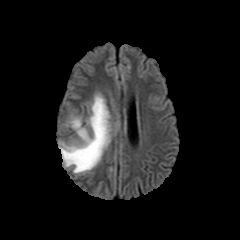
FLAIR MRI.
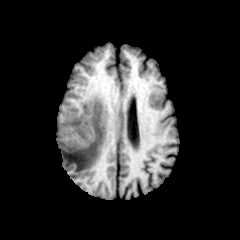
T1-weighted MRI.
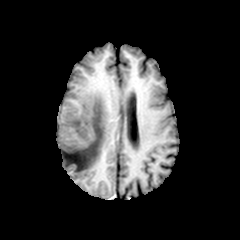
Post-contrast T1-weighted magnetic resonance of the same slice.
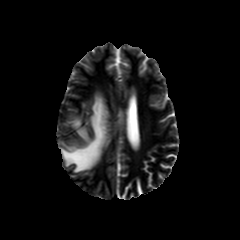
T2-weighted MR image of the same slice.
Head, 240x240
Findings:
• peritumoral edema: 59:94:110:173